FLAIR magnetic resonance.
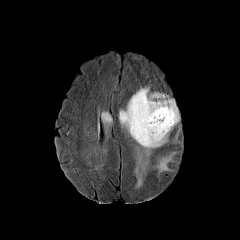
T1-weighted MRI.
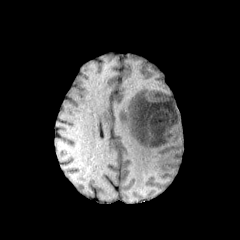
Post-contrast T1-weighted MRI.
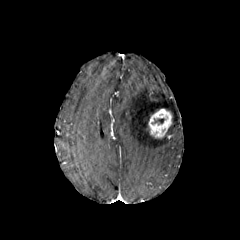
T2-weighted MR image.
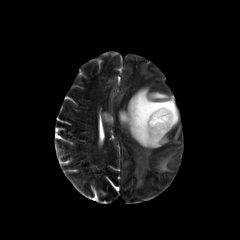
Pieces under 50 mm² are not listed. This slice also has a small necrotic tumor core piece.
2 peritumoral edema regions are located at <bbox>102, 112, 111, 124</bbox>, <bbox>119, 87, 182, 187</bbox>. The enhancing tumor is located at <bbox>146, 108, 173, 139</bbox>.